FLAIR MR image.
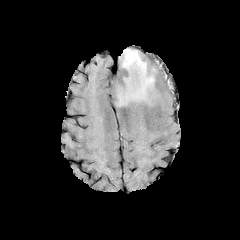
T1-weighted MR.
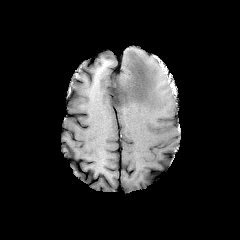
Post-contrast T1-weighted MRI.
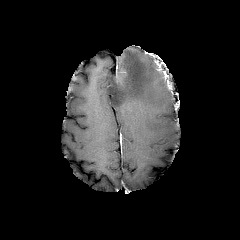
T2-weighted MR.
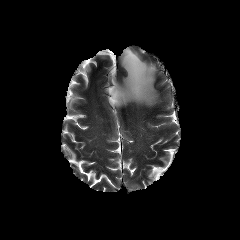
Axial plane
peritumoral edema at box=[112, 48, 158, 106]